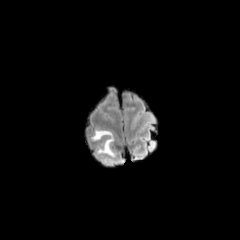
FLAIR MRI.
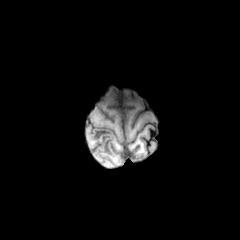
T1-weighted magnetic resonance.
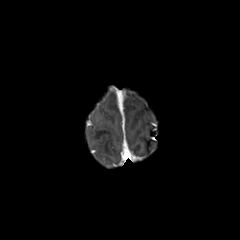
Post-contrast T1-weighted MR of the same slice.
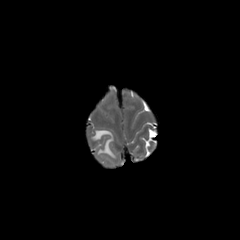
T2-weighted MRI.
The peritumoral edema is at region(90, 129, 117, 164).